FLAIR MR image.
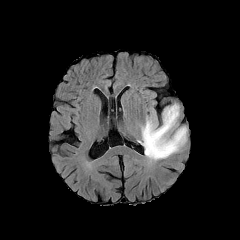
T1-weighted magnetic resonance.
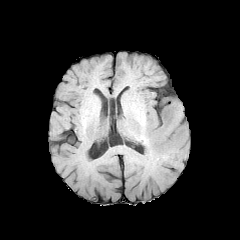
Post-contrast T1-weighted MR.
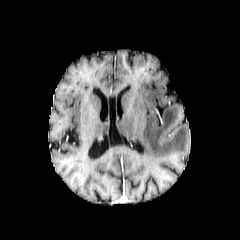
T2-weighted MR image.
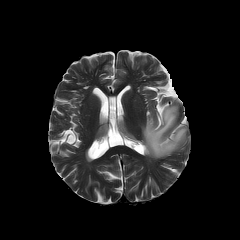
Image size 240x240. Head.
The peritumoral edema appears at <bbox>139, 104, 187, 159</bbox>.